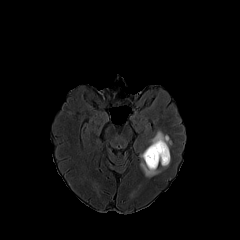
FLAIR magnetic resonance.
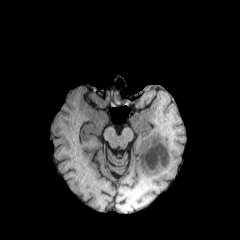
T1-weighted MRI.
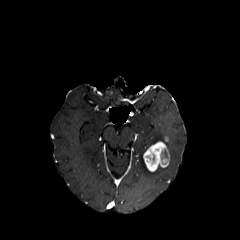
Same slice, post-contrast T1-weighted MRI.
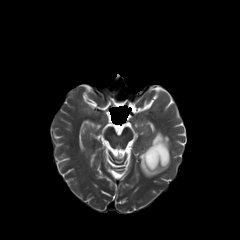
Same slice, T2-weighted MRI.
Axial view; 240x240 px
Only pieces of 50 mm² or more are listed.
enhancing tumor = [143, 141, 169, 171]
peritumoral edema = [140, 154, 168, 177], [149, 130, 171, 148]